Slice 66 of 155
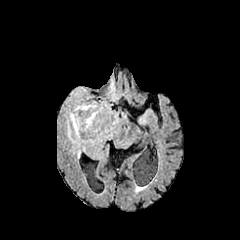
FLAIR MR image.
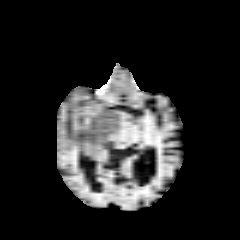
T1-weighted MRI.
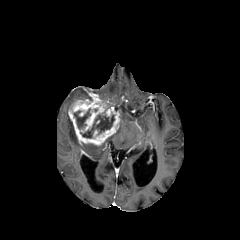
Same slice, post-contrast T1-weighted MR.
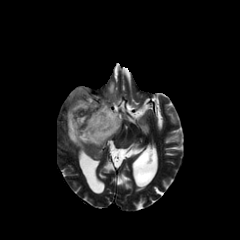
T2-weighted magnetic resonance.
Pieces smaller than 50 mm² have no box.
<segmentation>
  <peritumoral_edema>(x1=67, y1=116, x2=80, y2=146), (x1=71, y1=88, x2=85, y2=96), (x1=108, y1=80, x2=120, y2=101)</peritumoral_edema>
  <enhancing_tumor>(x1=68, y1=93, x2=120, y2=145)</enhancing_tumor>
  <necrotic_tumor_core>(x1=82, y1=114, x2=114, y2=137), (x1=74, y1=108, x2=90, y2=128)</necrotic_tumor_core>
</segmentation>